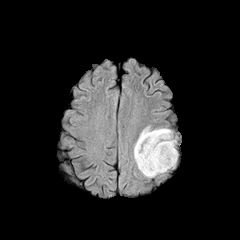
FLAIR MRI.
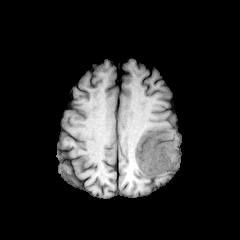
T1-weighted MRI.
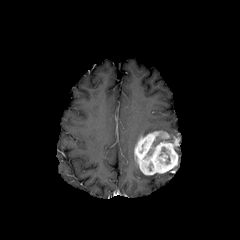
Same slice, post-contrast T1-weighted MR image.
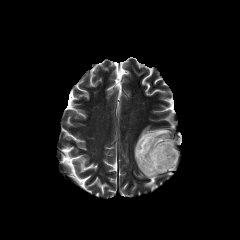
T2-weighted MR.
Brain; Axial view
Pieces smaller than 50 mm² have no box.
Findings:
* peritumoral edema: bbox(140, 126, 173, 140)
* enhancing tumor: bbox(134, 130, 178, 175)